FLAIR MRI.
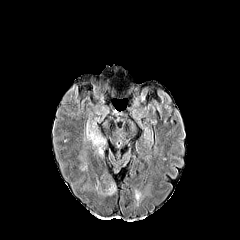
T1-weighted magnetic resonance.
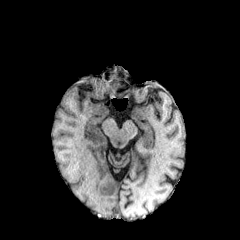
Post-contrast T1-weighted MR.
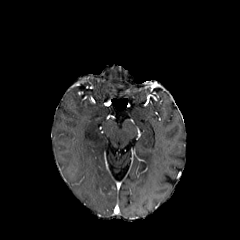
T2-weighted MRI.
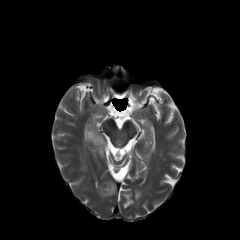
240x240 | Axial plane | Brain
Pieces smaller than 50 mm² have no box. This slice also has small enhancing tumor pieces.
peritumoral edema at [86,118,106,154]